FLAIR MRI.
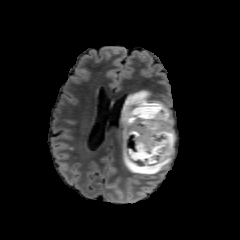
T1-weighted MR.
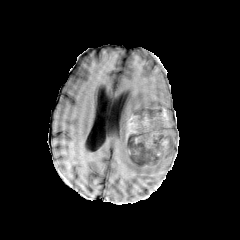
Post-contrast T1-weighted MR.
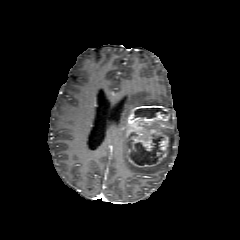
T2-weighted MR.
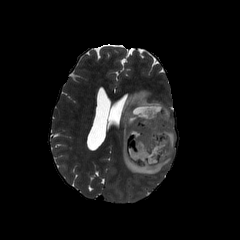
Brain. Axial view.
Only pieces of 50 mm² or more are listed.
necrotic tumor core = (134,108,167,118), (128,133,163,164)
peritumoral edema = (121,90,175,176)
enhancing tumor = (124,104,171,169)